240x240 px; Axial plane
FLAIR MR.
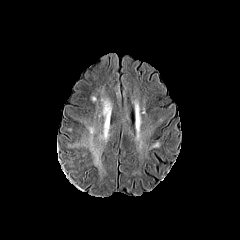
T1-weighted MR image.
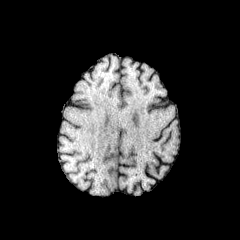
Post-contrast T1-weighted MRI.
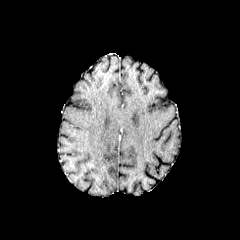
T2-weighted MR image.
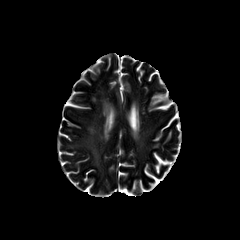
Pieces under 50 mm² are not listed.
<segmentation>
  <peritumoral_edema>left=102, top=99, right=110, bottom=118; left=90, top=140, right=99, bottom=164</peritumoral_edema>
</segmentation>